Head; Axial view
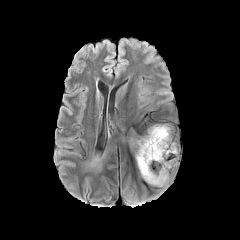
FLAIR MRI.
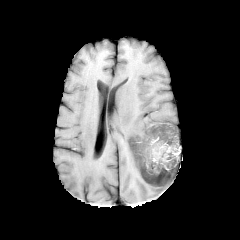
T1-weighted MR.
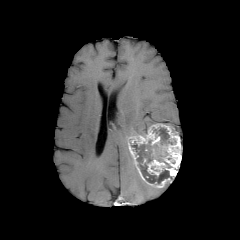
Same slice, post-contrast T1-weighted MR image.
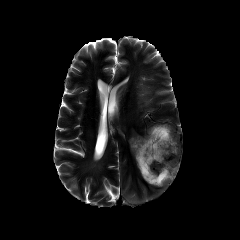
T2-weighted MRI.
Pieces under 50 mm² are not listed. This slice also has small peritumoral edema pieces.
The largest enhancing tumor region lies within (x1=128, y1=124, x2=181, y2=187). The 2 largest necrotic tumor core regions are bounded by (x1=154, y1=128, x2=169, y2=144), (x1=131, y1=140, x2=171, y2=183).